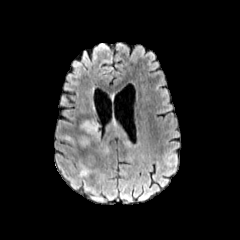
FLAIR MR.
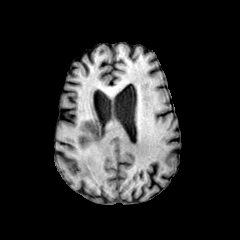
T1-weighted MRI of the same slice.
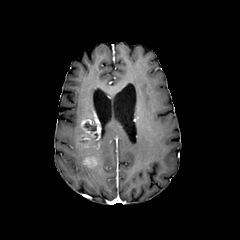
Post-contrast T1-weighted magnetic resonance.
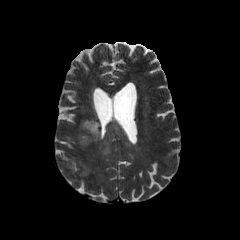
T2-weighted magnetic resonance.
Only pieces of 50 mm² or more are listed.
peritumoral edema: bounding box <bbox>97, 118, 131, 153</bbox>, <bbox>78, 161, 91, 176</bbox>
enhancing tumor: bounding box <bbox>77, 113, 100, 148</bbox>, <bbox>83, 155, 96, 166</bbox>
necrotic tumor core: bounding box <bbox>84, 122, 96, 131</bbox>